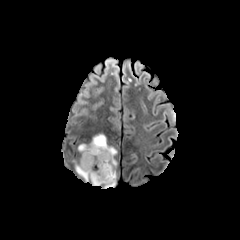
FLAIR magnetic resonance.
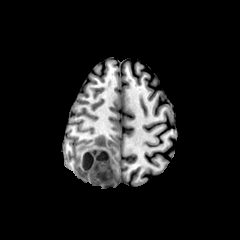
T1-weighted magnetic resonance of the same slice.
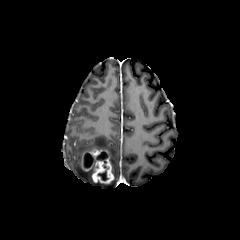
Post-contrast T1-weighted MR.
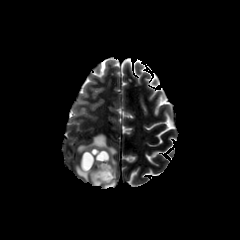
Same slice, T2-weighted MR.
Brain, 240x240, Axial plane
2 enhancing tumor regions appear at 92:156:114:183, 81:149:107:171. 2 peritumoral edema regions are bounded by 78:134:117:187, 75:156:101:185. 2 necrotic tumor core regions are bounded by 83:153:95:172, 96:151:108:180.